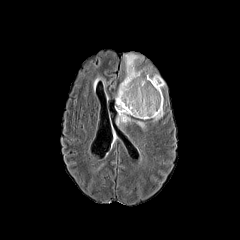
FLAIR MR image.
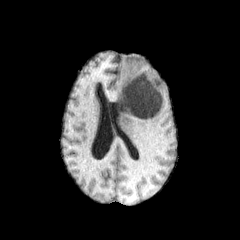
T1-weighted MR of the same slice.
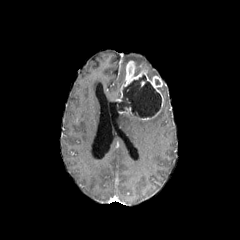
Post-contrast T1-weighted MR of the same slice.
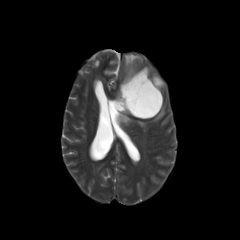
Same slice, T2-weighted MRI.
240x240 px; Head
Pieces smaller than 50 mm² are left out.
The largest necrotic tumor core region lies within {"x1": 117, "y1": 74, "x2": 161, "y2": 117}. The 4 largest peritumoral edema regions are located at {"x1": 115, "y1": 81, "x2": 124, "y2": 98}, {"x1": 116, "y1": 113, "x2": 132, "y2": 124}, {"x1": 153, "y1": 108, "x2": 164, "y2": 121}, {"x1": 124, "y1": 54, "x2": 141, "y2": 64}. The 2 largest enhancing tumor regions are bounded by {"x1": 118, "y1": 107, "x2": 132, "y2": 115}, {"x1": 116, "y1": 60, "x2": 163, "y2": 119}.